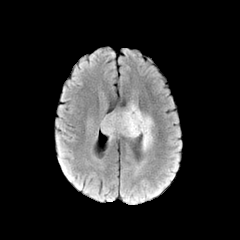
FLAIR MR.
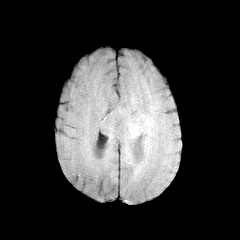
Same slice, T1-weighted magnetic resonance.
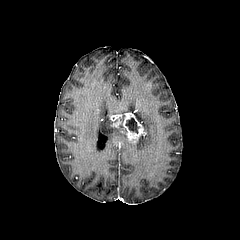
Post-contrast T1-weighted magnetic resonance of the same slice.
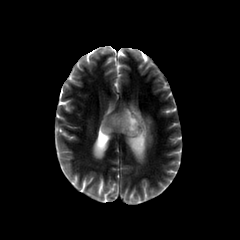
Same slice, T2-weighted MR.
Axial view. 240x240 px.
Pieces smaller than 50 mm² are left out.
{
  "peritumoral_edema": [
    "bbox(100, 103, 136, 139)",
    "bbox(134, 110, 152, 150)"
  ],
  "enhancing_tumor": [
    "bbox(110, 112, 146, 144)"
  ],
  "necrotic_tumor_core": [
    "bbox(126, 118, 139, 133)"
  ]
}